Slice index 32, Axial view, 240x240 px
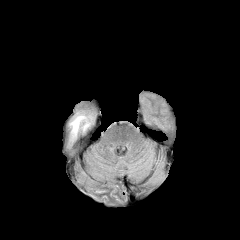
FLAIR magnetic resonance.
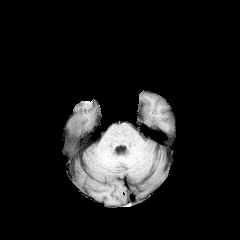
T1-weighted MR.
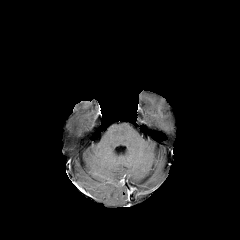
Post-contrast T1-weighted MR.
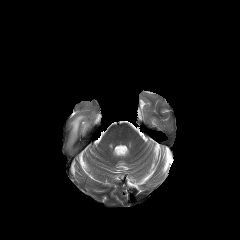
T2-weighted MRI.
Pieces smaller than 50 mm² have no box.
peritumoral edema: 69,114,90,142